Axial plane
FLAIR magnetic resonance.
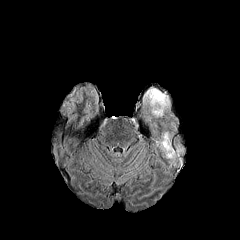
T1-weighted MRI.
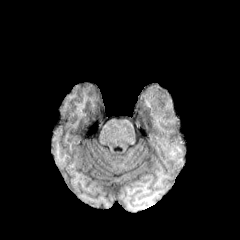
Post-contrast T1-weighted MR image.
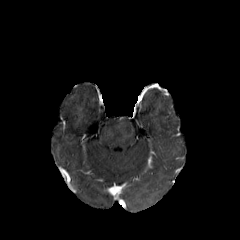
T2-weighted MRI.
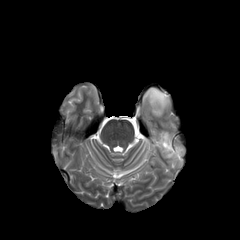
peritumoral edema — [160,132,174,157], [145,88,169,116]